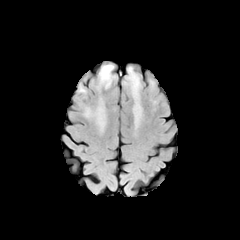
FLAIR magnetic resonance.
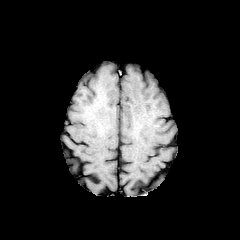
Same slice, T1-weighted magnetic resonance.
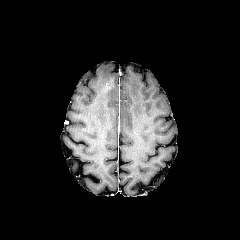
Post-contrast T1-weighted MR of the same slice.
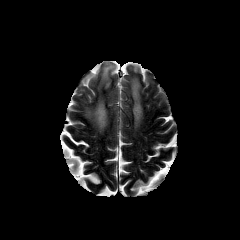
T2-weighted MR.
Axial plane
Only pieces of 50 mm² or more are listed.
peritumoral edema: {"x1": 97, "y1": 63, "x2": 115, "y2": 89}, {"x1": 85, "y1": 101, "x2": 106, "y2": 130}, {"x1": 123, "y1": 66, "x2": 142, "y2": 127}